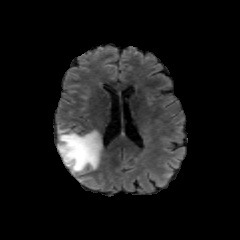
FLAIR MR image.
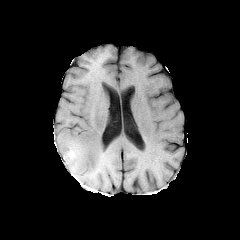
T1-weighted MRI.
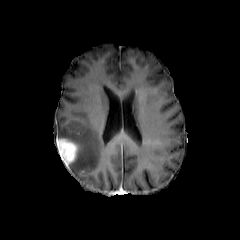
Same slice, post-contrast T1-weighted MR image.
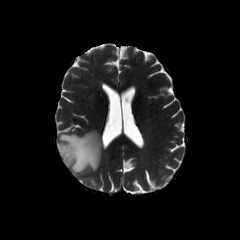
T2-weighted magnetic resonance.
peritumoral_edema:
  - (57, 126, 102, 181)
enhancing_tumor:
  - (58, 138, 78, 168)